FLAIR MR.
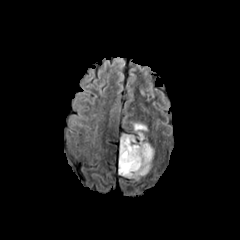
T1-weighted MR image.
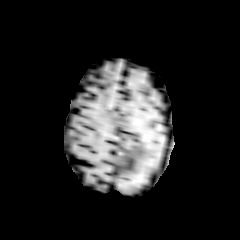
Post-contrast T1-weighted MRI.
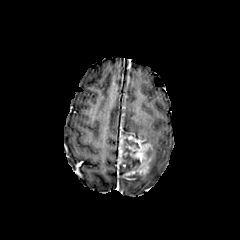
T2-weighted MRI.
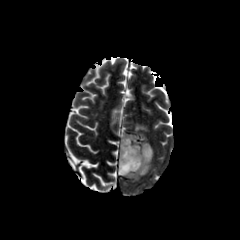
Axial view
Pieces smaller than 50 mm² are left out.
The 2 largest peritumoral edema regions are bounded by 132:123:147:140, 137:161:151:179. The largest enhancing tumor region is at 118:135:154:180. The largest necrotic tumor core region is at 121:139:140:173.